240x240 px, Axial view
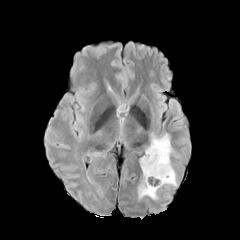
FLAIR MR image.
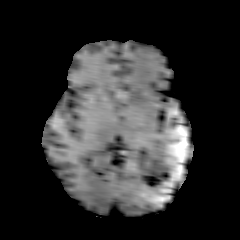
T1-weighted magnetic resonance of the same slice.
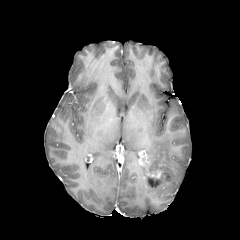
Post-contrast T1-weighted MR image of the same slice.
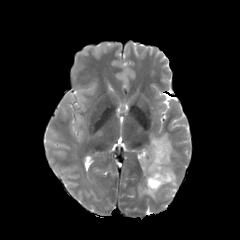
T2-weighted MR of the same slice.
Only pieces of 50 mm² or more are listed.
The largest peritumoral edema region is located at x1=138, y1=132, x2=177, y2=198. The enhancing tumor lies within x1=149, y1=169, x2=165, y2=179.